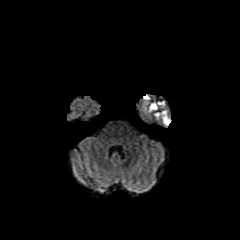
FLAIR MR.
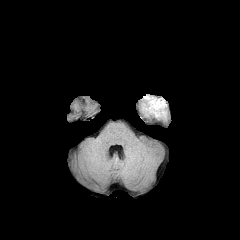
T1-weighted MRI of the same slice.
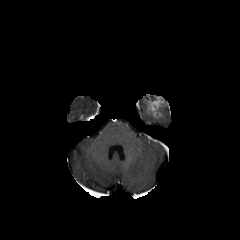
Post-contrast T1-weighted magnetic resonance.
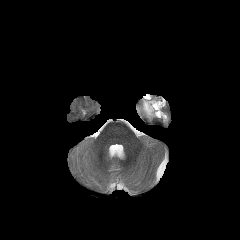
T2-weighted MR.
Brain
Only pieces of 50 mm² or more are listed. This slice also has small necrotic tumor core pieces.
<segmentation>
  <peritumoral_edema>{"x1": 159, "y1": 111, "x2": 169, "y2": 125}</peritumoral_edema>
  <enhancing_tumor>{"x1": 145, "y1": 95, "x2": 164, "y2": 117}</enhancing_tumor>
</segmentation>